Slice 35/155 | Axial slice
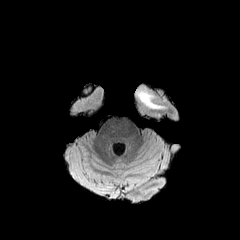
FLAIR MR.
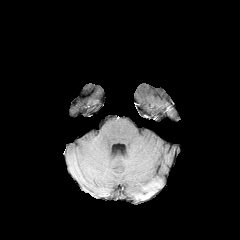
T1-weighted MR image of the same slice.
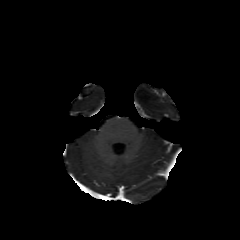
Post-contrast T1-weighted MR.
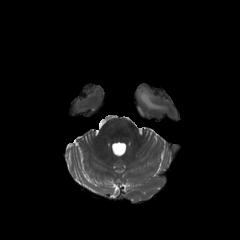
Same slice, T2-weighted MR.
The peritumoral edema is located at box(135, 86, 167, 110).